Slice index 86; Head; Axial plane
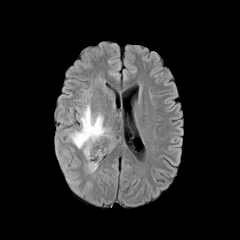
FLAIR MRI.
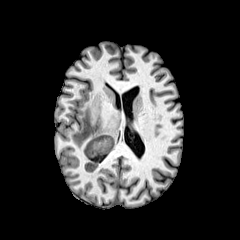
Same slice, T1-weighted MRI.
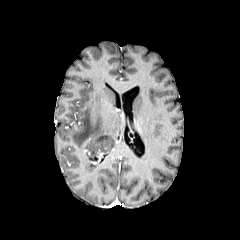
Post-contrast T1-weighted MRI of the same slice.
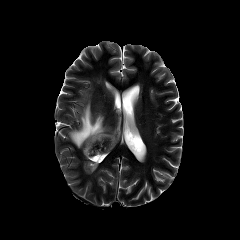
T2-weighted MR.
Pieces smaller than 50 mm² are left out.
<segmentation>
  <peritumoral_edema>rect(69, 104, 113, 158); rect(88, 162, 97, 171)</peritumoral_edema>
</segmentation>